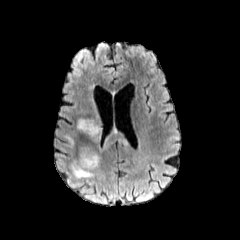
FLAIR MRI.
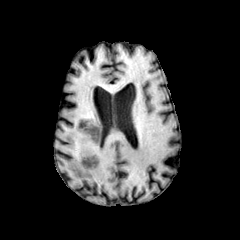
Same slice, T1-weighted MRI.
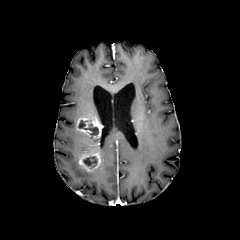
Post-contrast T1-weighted MRI.
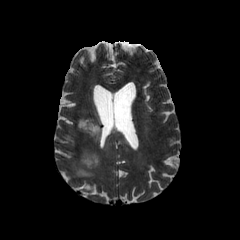
T2-weighted MR of the same slice.
Image size 240x240; Brain; Axial slice
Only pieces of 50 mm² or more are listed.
The enhancing tumor appears at 76:116:101:171. The 2 largest necrotic tumor core regions appear at 83:156:97:167, 84:124:98:135. The 2 largest peritumoral edema regions are bounded by 69:160:94:177, 100:129:129:150.